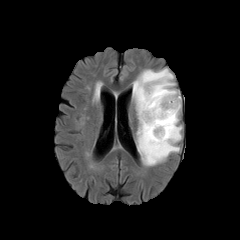
FLAIR MR image.
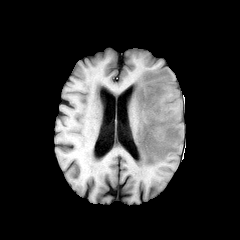
T1-weighted MR image.
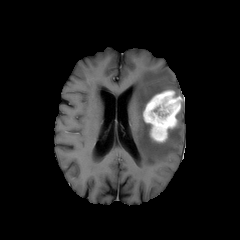
Post-contrast T1-weighted MRI.
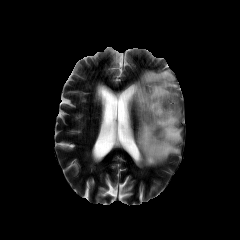
T2-weighted MR image.
Head, Image size 240x240, Axial slice
• enhancing tumor: l=143, t=90, r=182, b=142
• peritumoral edema: l=132, t=68, r=184, b=166
• necrotic tumor core: l=152, t=104, r=170, b=117